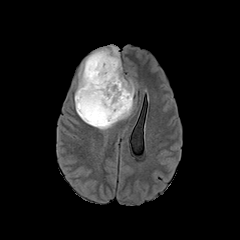
FLAIR magnetic resonance.
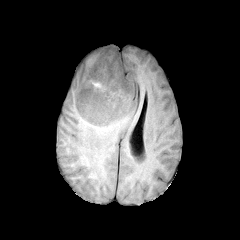
T1-weighted MR.
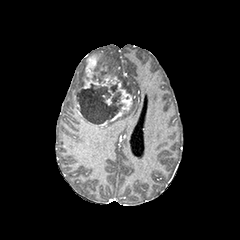
Post-contrast T1-weighted magnetic resonance.
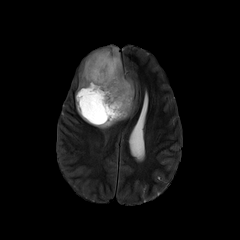
Same slice, T2-weighted MRI.
Brain, Axial plane
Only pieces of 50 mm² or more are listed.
<segmentation>
  <peritumoral_edema>[75, 45, 135, 130]</peritumoral_edema>
  <enhancing_tumor>[75, 93, 82, 115], [78, 54, 132, 125]</enhancing_tumor>
  <necrotic_tumor_core>[77, 82, 123, 123]</necrotic_tumor_core>
</segmentation>